Image width 240 mm | Slice index 75
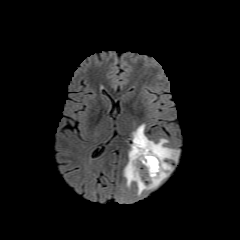
FLAIR MRI.
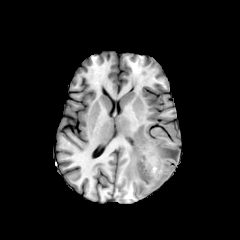
T1-weighted MR image.
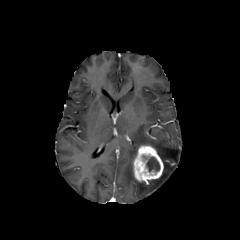
Post-contrast T1-weighted MRI of the same slice.
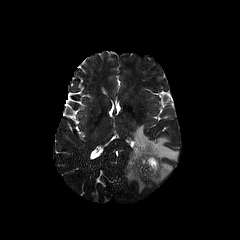
Same slice, T2-weighted MR image.
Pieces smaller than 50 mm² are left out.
necrotic tumor core: rect(146, 157, 159, 172)
enhancing tumor: rect(132, 145, 163, 182)
peritumoral edema: rect(124, 124, 178, 194)